Axial view. Brain. Slice 141 of 155.
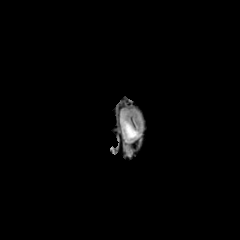
FLAIR magnetic resonance.
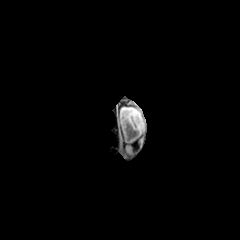
T1-weighted MRI of the same slice.
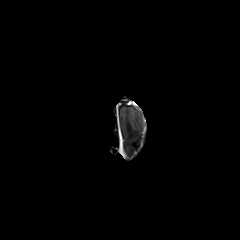
Post-contrast T1-weighted magnetic resonance of the same slice.
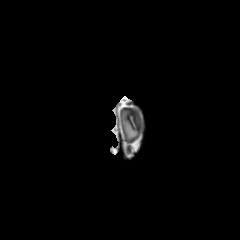
Same slice, T2-weighted MR image.
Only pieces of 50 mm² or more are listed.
Segmented structures:
- peritumoral edema: [121, 111, 139, 141]